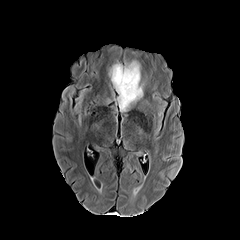
FLAIR MR.
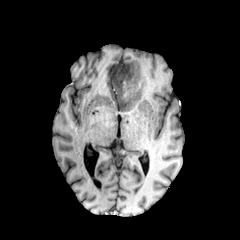
T1-weighted magnetic resonance of the same slice.
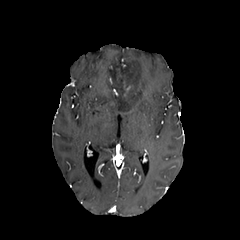
Same slice, post-contrast T1-weighted MR.
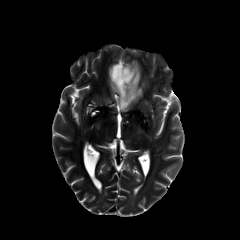
T2-weighted magnetic resonance.
Axial plane
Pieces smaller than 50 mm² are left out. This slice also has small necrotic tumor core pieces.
Annotated regions:
- enhancing tumor: x1=122 y1=79 x2=133 y2=99
- peritumoral edema: x1=109 y1=60 x2=143 y2=113